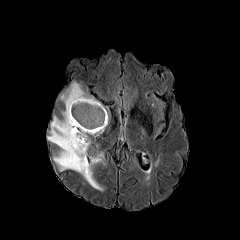
FLAIR MR image.
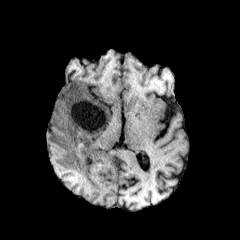
Same slice, T1-weighted MR.
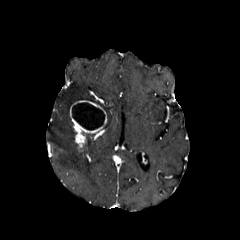
Post-contrast T1-weighted magnetic resonance.
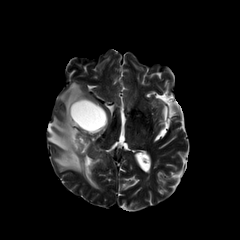
Same slice, T2-weighted MRI.
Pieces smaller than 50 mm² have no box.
The enhancing tumor is located at (x1=69, y1=100, x2=107, y2=151). The necrotic tumor core is bounded by (x1=72, y1=102, x2=104, y2=130). The largest peritumoral edema region appears at (x1=47, y1=81, x2=105, y2=190).